Head; Slice index 55; Image width 240 mm
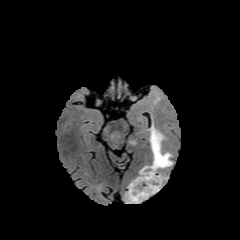
FLAIR MR image.
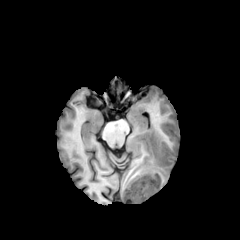
T1-weighted MRI.
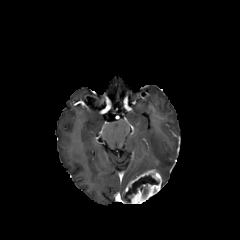
Post-contrast T1-weighted magnetic resonance.
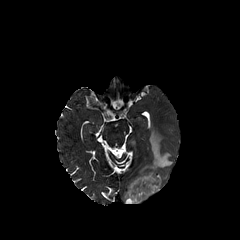
T2-weighted MRI.
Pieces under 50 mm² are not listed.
{
  "enhancing_tumor": [
    "<box>124,169,162,203</box>"
  ],
  "necrotic_tumor_core": [
    "<box>125,175,158,202</box>"
  ],
  "peritumoral_edema": [
    "<box>139,125,172,174</box>"
  ]
}